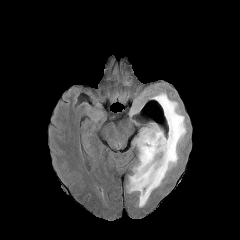
FLAIR MRI.
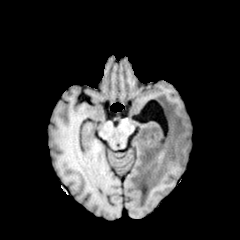
T1-weighted magnetic resonance of the same slice.
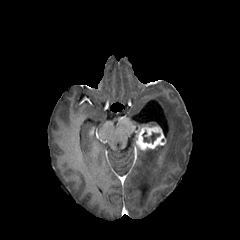
Post-contrast T1-weighted MR image.
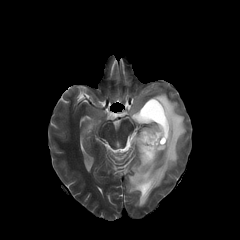
T2-weighted magnetic resonance.
Head
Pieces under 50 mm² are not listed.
necrotic_tumor_core:
  - (x1=142, y1=131, x2=160, y2=143)
peritumoral_edema:
  - (x1=127, y1=92, x2=186, y2=207)
enhancing_tumor:
  - (x1=135, y1=126, x2=166, y2=150)